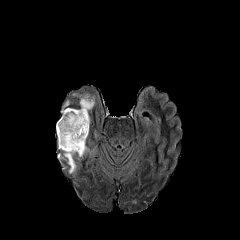
FLAIR magnetic resonance.
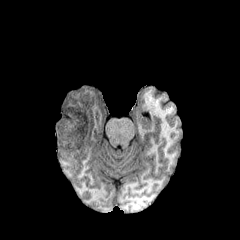
Same slice, T1-weighted MRI.
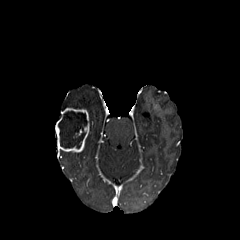
Post-contrast T1-weighted magnetic resonance.
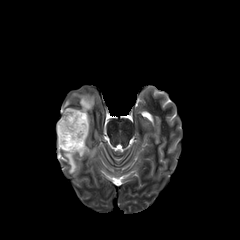
T2-weighted MR image of the same slice.
Axial plane | 240x240 | Brain
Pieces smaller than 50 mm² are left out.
<segmentation>
  <peritumoral_edema>left=78, top=145, right=89, bottom=157; left=73, top=93, right=94, bottom=110; left=64, top=152, right=76, bottom=173</peritumoral_edema>
  <enhancing_tumor>left=56, top=108, right=89, bottom=152</enhancing_tumor>
  <necrotic_tumor_core>left=58, top=111, right=87, bottom=148</necrotic_tumor_core>
</segmentation>